FLAIR MR.
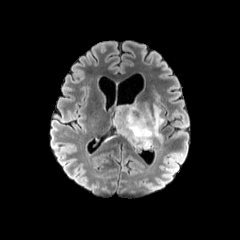
T1-weighted magnetic resonance.
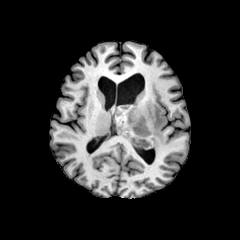
Post-contrast T1-weighted magnetic resonance.
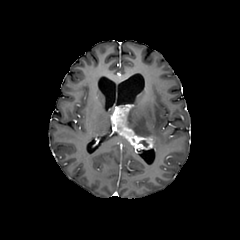
T2-weighted magnetic resonance.
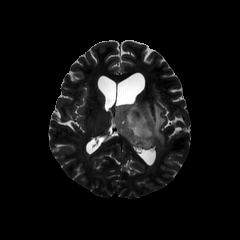
Axial view.
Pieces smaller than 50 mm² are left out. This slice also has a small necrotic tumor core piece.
<segmentation>
  <peritumoral_edema>region(127, 102, 164, 143)</peritumoral_edema>
  <enhancing_tumor>region(112, 104, 153, 150)</enhancing_tumor>
</segmentation>